FLAIR MRI.
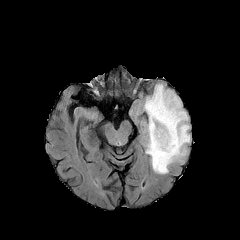
T1-weighted magnetic resonance.
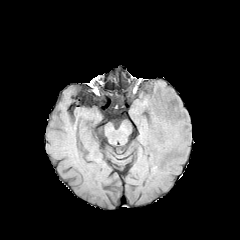
Post-contrast T1-weighted MR.
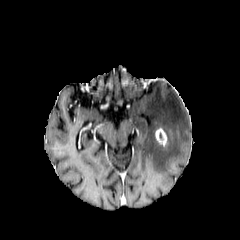
T2-weighted magnetic resonance.
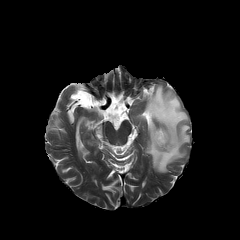
Brain
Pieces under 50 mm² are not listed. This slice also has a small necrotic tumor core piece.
peritumoral_edema:
  - [143, 83, 190, 173]
enhancing_tumor:
  - [155, 128, 167, 146]